FLAIR MR image.
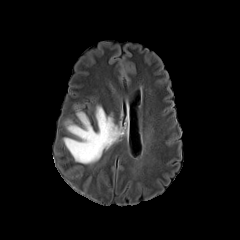
T1-weighted MRI.
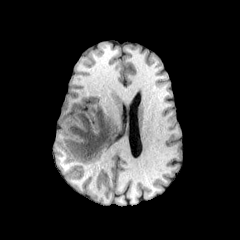
Post-contrast T1-weighted MRI.
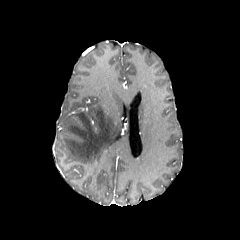
T2-weighted MR image.
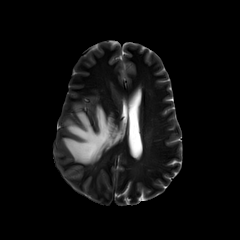
Head.
Annotated regions:
• peritumoral edema: 63 105 120 164